240x240 | Head | Axial plane
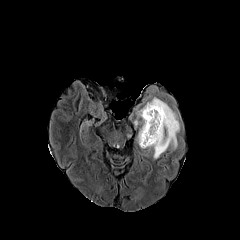
FLAIR MRI.
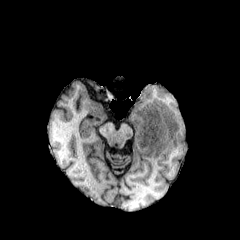
Same slice, T1-weighted MRI.
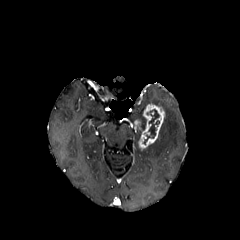
Post-contrast T1-weighted magnetic resonance of the same slice.
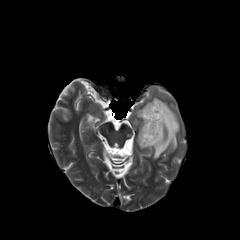
T2-weighted magnetic resonance of the same slice.
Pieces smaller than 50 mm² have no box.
The largest peritumoral edema region is located at x1=136, y1=97, x2=180, y2=159. The largest enhancing tumor region lies within x1=138, y1=104, x2=165, y2=149. The largest necrotic tumor core region is bounded by x1=144, y1=109, x2=159, y2=144.